FLAIR MRI.
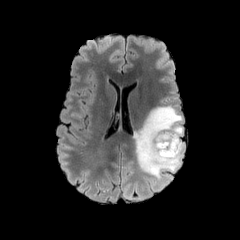
T1-weighted MRI.
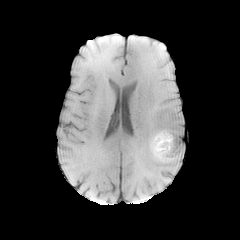
Post-contrast T1-weighted MR image.
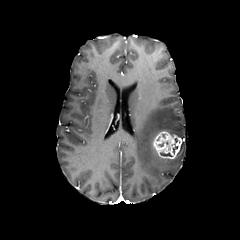
T2-weighted MRI.
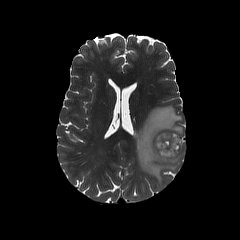
Axial view
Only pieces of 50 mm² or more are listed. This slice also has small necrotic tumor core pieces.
enhancing_tumor:
  - <box>152,131,181,159</box>
peritumoral_edema:
  - <box>133,105,184,184</box>